FLAIR MR.
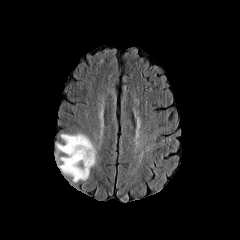
T1-weighted magnetic resonance.
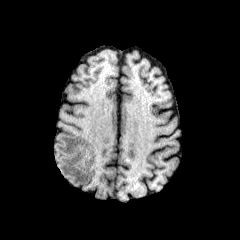
Post-contrast T1-weighted MR image.
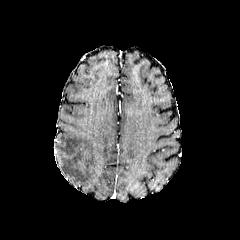
T2-weighted magnetic resonance.
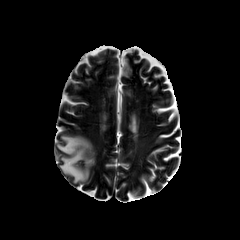
Brain, Axial view
- peritumoral edema: box=[56, 134, 96, 182]